Slice 122 of 155; 240x240
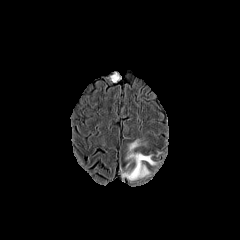
FLAIR MR image.
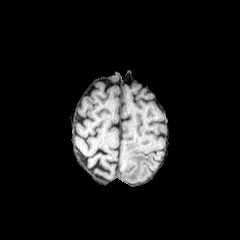
T1-weighted MR of the same slice.
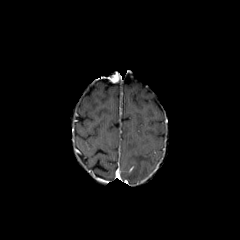
Post-contrast T1-weighted MR of the same slice.
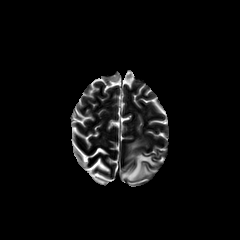
T2-weighted magnetic resonance.
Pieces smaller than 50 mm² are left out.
The largest peritumoral edema region appears at l=121, t=139, r=158, b=181.